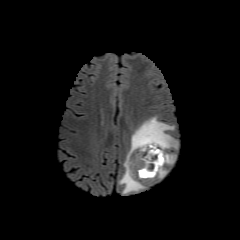
FLAIR magnetic resonance.
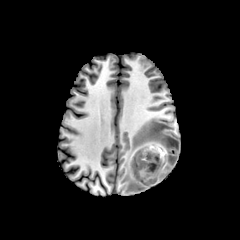
T1-weighted MR image.
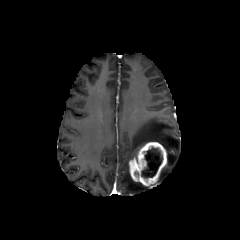
Post-contrast T1-weighted MR.
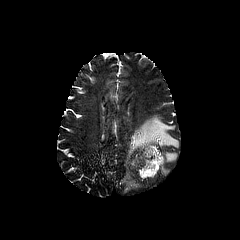
T2-weighted magnetic resonance.
Brain; Axial plane
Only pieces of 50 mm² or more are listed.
peritumoral edema = box=[119, 116, 178, 193]; box=[159, 167, 168, 178]; box=[167, 152, 176, 164]
enhancing tumor = box=[129, 140, 167, 186]
necrotic tumor core = box=[141, 147, 162, 178]